Brain
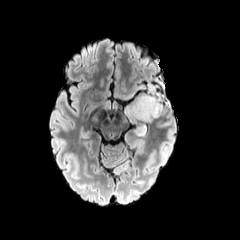
FLAIR MR.
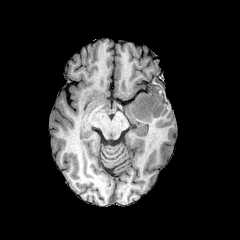
T1-weighted MR image.
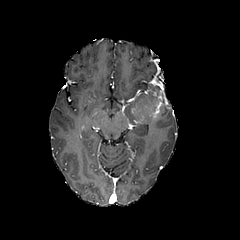
Post-contrast T1-weighted MR image.
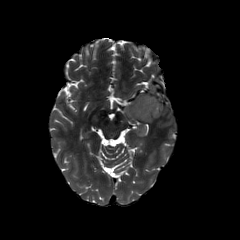
T2-weighted MR image.
peritumoral edema = rect(135, 125, 147, 135); rect(124, 94, 153, 123)
enhancing tumor = rect(132, 92, 162, 119)